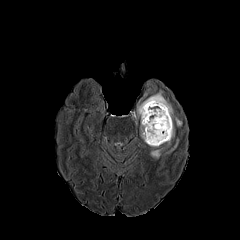
FLAIR magnetic resonance.
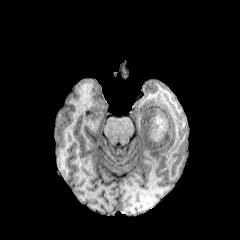
T1-weighted MR image.
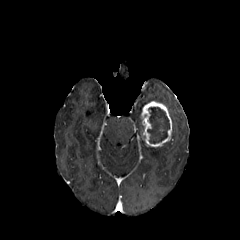
Post-contrast T1-weighted MRI.
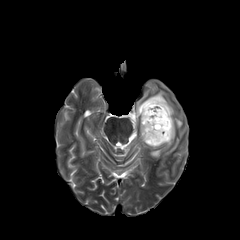
T2-weighted MRI.
Brain
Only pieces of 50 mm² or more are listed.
The necrotic tumor core is bounded by (147,107,169,143). The enhancing tumor is at (141,101,172,147). The largest peritumoral edema region is bounded by (132,81,185,158).